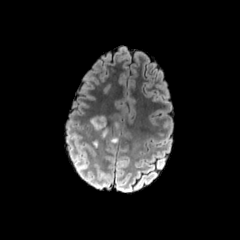
FLAIR MR.
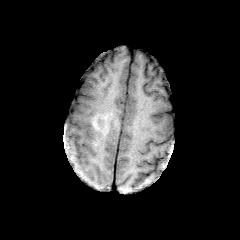
T1-weighted MRI of the same slice.
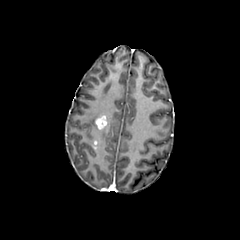
Post-contrast T1-weighted MR of the same slice.
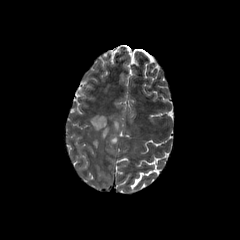
T2-weighted MR of the same slice.
Brain, Axial view
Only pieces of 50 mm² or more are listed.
peritumoral edema: 90 116 99 131, 110 135 117 143, 113 120 118 131
enhancing tumor: 95 115 108 132